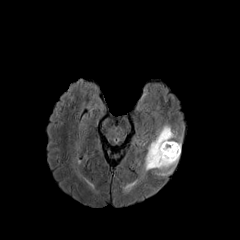
FLAIR MR.
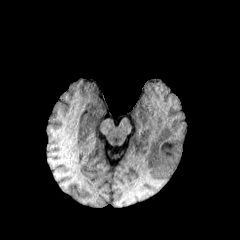
T1-weighted MR of the same slice.
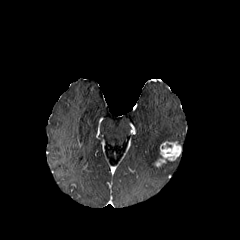
Post-contrast T1-weighted MRI.
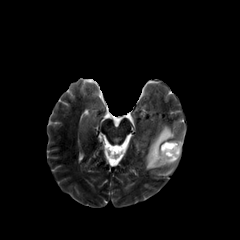
T2-weighted MRI of the same slice.
240x240 px, Axial view
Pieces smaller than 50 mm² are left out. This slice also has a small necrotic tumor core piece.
enhancing tumor: bounding box <bbox>155, 141, 181, 167</bbox>
peritumoral edema: bounding box <bbox>145, 124, 178, 175</bbox>